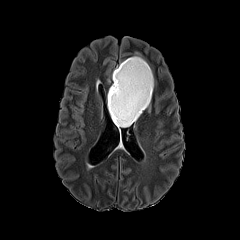
FLAIR MR.
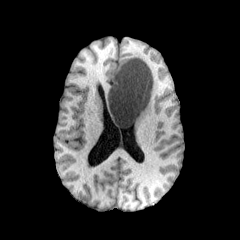
Same slice, T1-weighted magnetic resonance.
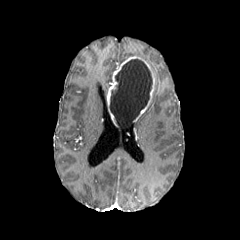
Post-contrast T1-weighted MR.
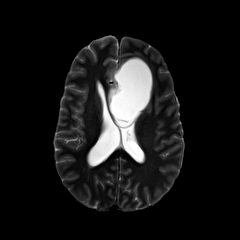
T2-weighted MR of the same slice.
240x240 px | Head | Axial slice
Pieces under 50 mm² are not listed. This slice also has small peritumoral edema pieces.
The necrotic tumor core is at 109:59:152:127. The enhancing tumor is at 107:56:154:126.